Axial plane. Image size 240x240.
FLAIR magnetic resonance.
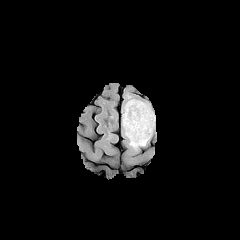
T1-weighted magnetic resonance.
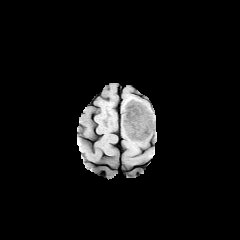
Post-contrast T1-weighted MRI.
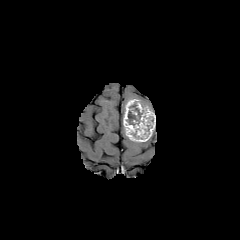
T2-weighted magnetic resonance.
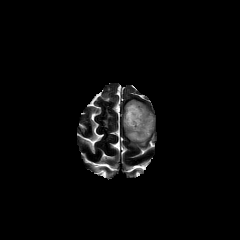
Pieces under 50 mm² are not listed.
necrotic_tumor_core:
  - 129, 104, 141, 118
  - 128, 111, 137, 120
peritumoral_edema:
  - 129, 140, 147, 148
enhancing_tumor:
  - 123, 99, 155, 141